Image width 240 mm, 1.00 mm slice spacing. Head. Axial view.
FLAIR MR image.
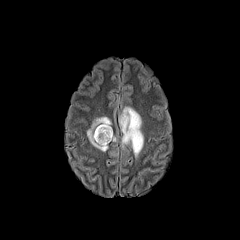
T1-weighted MR.
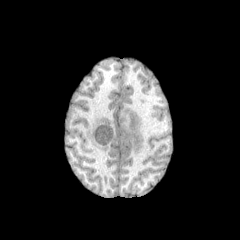
Post-contrast T1-weighted MRI.
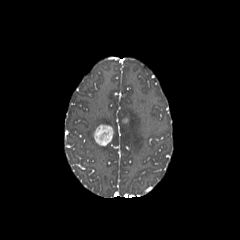
T2-weighted MR.
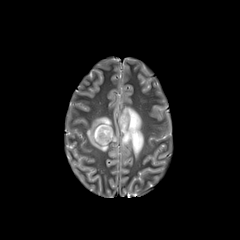
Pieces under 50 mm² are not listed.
enhancing tumor: box(93, 124, 113, 145) | peritumoral edema: box(119, 107, 143, 157); box(87, 117, 111, 151)